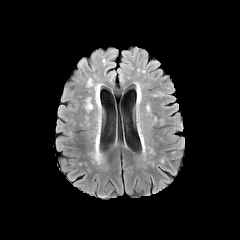
FLAIR MR.
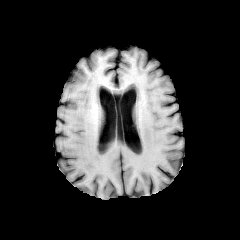
T1-weighted MR.
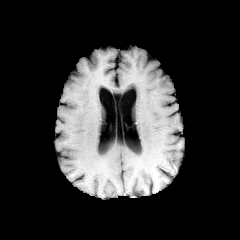
Post-contrast T1-weighted magnetic resonance of the same slice.
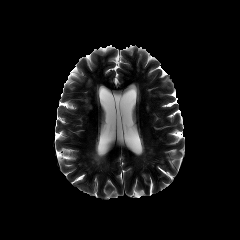
T2-weighted MRI.
* peritumoral edema: box(94, 134, 101, 162)